Brain; Image width 240 mm; Image size 240x240
FLAIR MR.
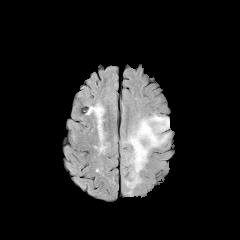
T1-weighted MRI.
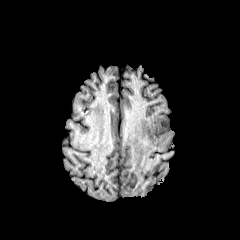
Post-contrast T1-weighted MRI.
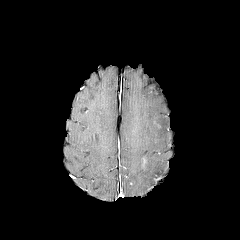
T2-weighted MR.
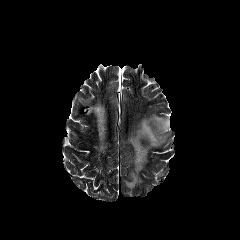
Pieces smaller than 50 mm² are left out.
peritumoral_edema:
  - bbox=[125, 114, 169, 188]